Head | Image width 240 mm, 1.00 mm slice spacing
FLAIR magnetic resonance.
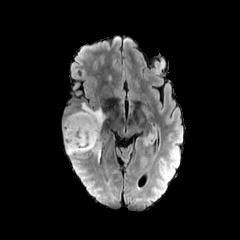
T1-weighted magnetic resonance.
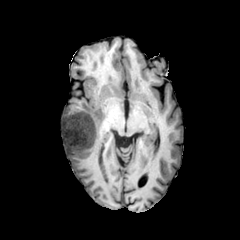
Post-contrast T1-weighted MRI.
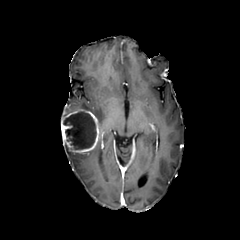
T2-weighted magnetic resonance.
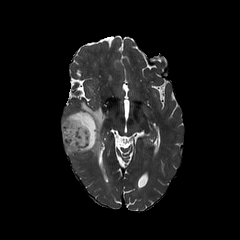
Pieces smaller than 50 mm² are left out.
Annotated regions:
• necrotic tumor core: 63:111:96:149
• enhancing tumor: 61:107:101:153
• peritumoral edema: 80:102:108:130, 65:146:83:157, 90:140:101:162